FLAIR MRI.
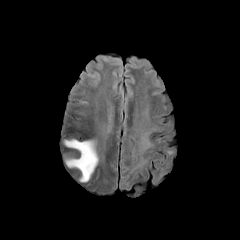
T1-weighted MR image.
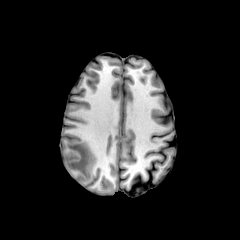
Post-contrast T1-weighted MR.
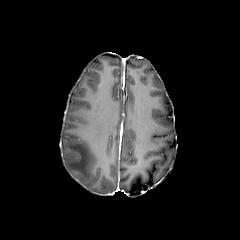
T2-weighted MR.
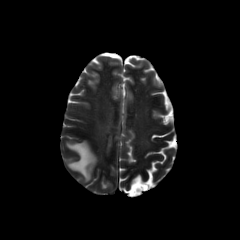
Brain | 240x240
Annotated regions:
- peritumoral edema: x1=64, y1=139, x2=97, y2=181